240x240 px; Head; Slice 103/155
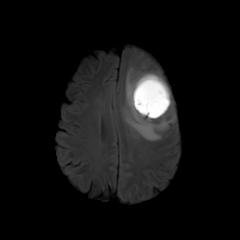
FLAIR magnetic resonance.
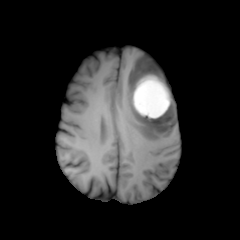
T1-weighted MR image.
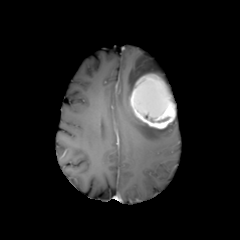
Post-contrast T1-weighted magnetic resonance.
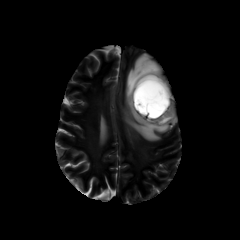
T2-weighted MR of the same slice.
enhancing tumor — bbox(130, 74, 175, 128)
necrotic tumor core — bbox(145, 114, 170, 123)
peritumoral edema — bbox(123, 54, 176, 141)